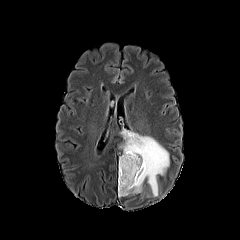
FLAIR MR.
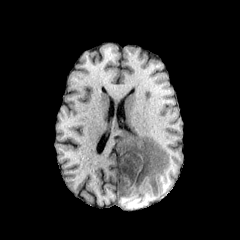
T1-weighted magnetic resonance.
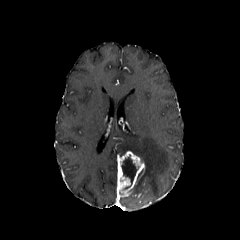
Post-contrast T1-weighted magnetic resonance of the same slice.
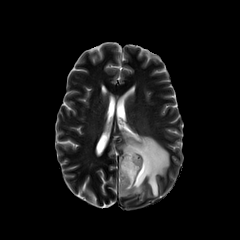
T2-weighted MR image.
Image size 240x240
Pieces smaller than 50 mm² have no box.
The enhancing tumor appears at 117:151:144:196. The largest necrotic tumor core region appears at 121:157:137:189. The peritumoral edema is located at 120:131:169:196.